Axial slice | Brain
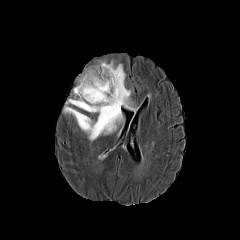
FLAIR magnetic resonance.
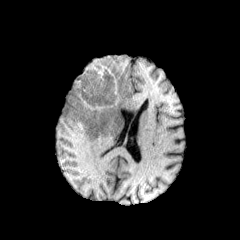
T1-weighted MRI.
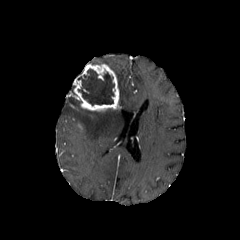
Post-contrast T1-weighted MR image.
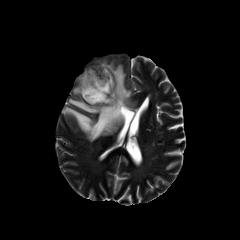
T2-weighted MR.
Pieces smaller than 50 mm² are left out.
{"necrotic_tumor_core": ["x1=78, y1=68, x2=114, y2=105"], "enhancing_tumor": ["x1=74, y1=64, x2=120, y2=111"], "peritumoral_edema": ["x1=101, y1=61, x2=133, y2=110", "x1=63, y1=98, x2=123, y2=141"]}